FLAIR MRI.
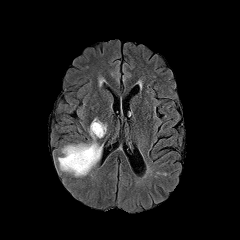
T1-weighted MR.
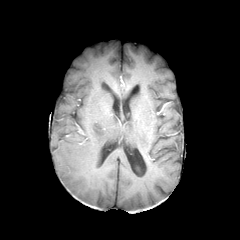
Post-contrast T1-weighted MR.
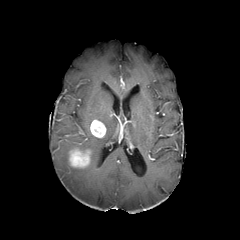
T2-weighted MRI.
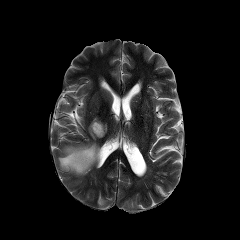
Axial plane; Brain; Image size 240x240
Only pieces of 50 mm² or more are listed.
Segmented structures:
* enhancing tumor: bbox(69, 149, 90, 167); bbox(90, 120, 106, 137)
* peritumoral edema: bbox(57, 128, 102, 176)